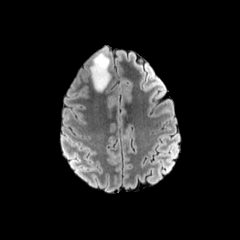
FLAIR MR.
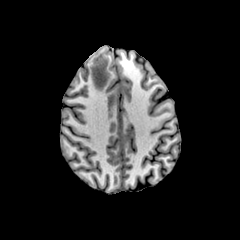
T1-weighted MRI of the same slice.
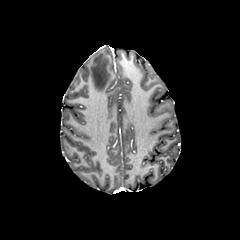
Same slice, post-contrast T1-weighted MR.
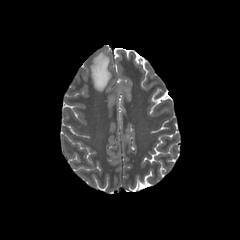
T2-weighted MR.
Head
peritumoral_edema:
  - box(90, 50, 110, 91)